Slice index 80 | Image covers 240 mm x 240 mm
FLAIR MR.
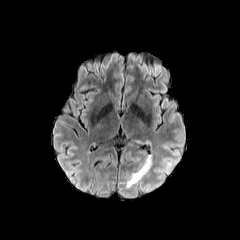
T1-weighted MR.
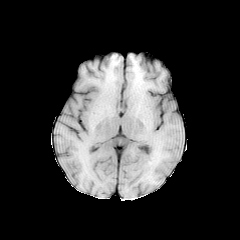
Post-contrast T1-weighted MR.
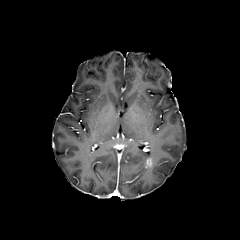
T2-weighted MR image.
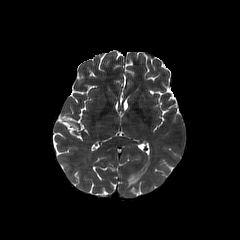
{"enhancing_tumor": ["bbox=[144, 157, 152, 168]"], "peritumoral_edema": ["bbox=[127, 155, 151, 187]"]}